FLAIR magnetic resonance.
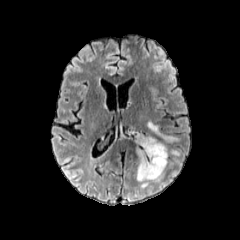
T1-weighted MRI.
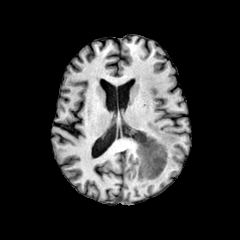
Post-contrast T1-weighted magnetic resonance.
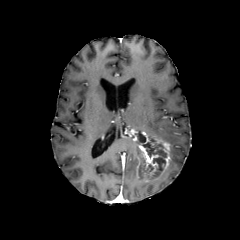
T2-weighted MR image.
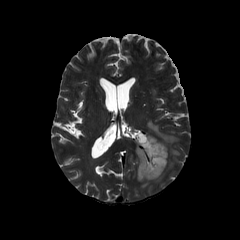
Axial view
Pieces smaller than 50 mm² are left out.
peritumoral edema at x1=147 y1=121 x2=178 y2=144, x1=171 y1=149 x2=180 y2=155
enhancing tumor at x1=136 y1=132 x2=170 y2=181
necrotic tumor core at x1=139 y1=134 x2=145 y2=142, x1=139 y1=163 x2=153 y2=177, x1=142 y1=142 x2=166 y2=176